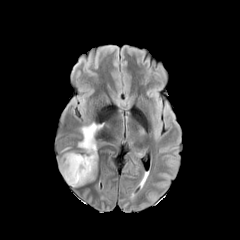
FLAIR MR.
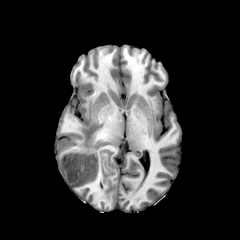
T1-weighted MR.
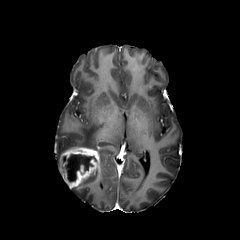
Post-contrast T1-weighted MR.
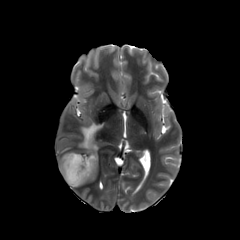
T2-weighted magnetic resonance.
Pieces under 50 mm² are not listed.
peritumoral edema — <box>77,122,103,150</box>
necrotic tumor core — <box>61,154,96,182</box>
enhancing tumor — <box>59,147,99,188</box>